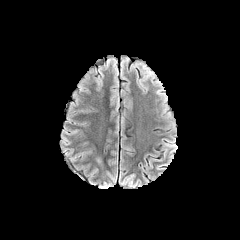
FLAIR MR image.
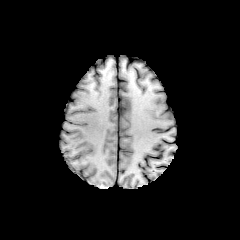
T1-weighted magnetic resonance.
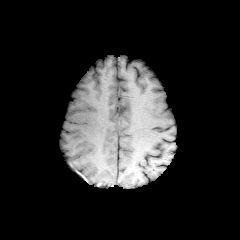
Post-contrast T1-weighted MR of the same slice.
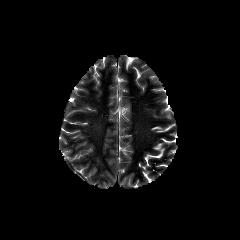
T2-weighted MR.
240x240
peritumoral edema: bbox=[95, 156, 103, 167]